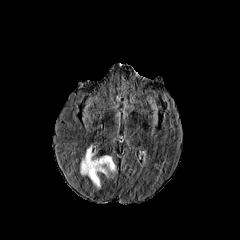
FLAIR MR image.
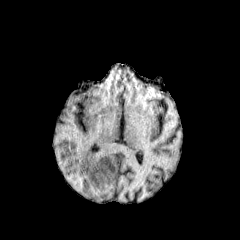
T1-weighted MRI.
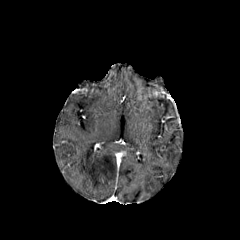
Post-contrast T1-weighted MRI of the same slice.
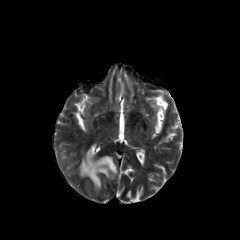
T2-weighted MR.
{"peritumoral_edema": ["<bbox>80, 147, 115, 188</bbox>"]}